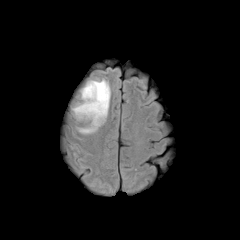
FLAIR MRI.
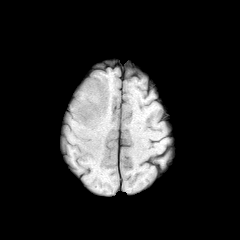
T1-weighted magnetic resonance of the same slice.
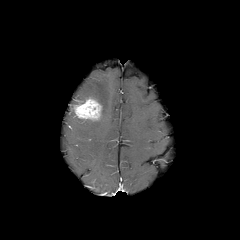
Post-contrast T1-weighted magnetic resonance.
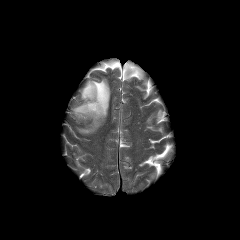
T2-weighted MRI.
240x240 px; Axial plane; Head
The enhancing tumor is at x1=74 y1=98 x2=102 y2=120. The peritumoral edema is bounded by x1=72 y1=79 x2=110 y2=134.